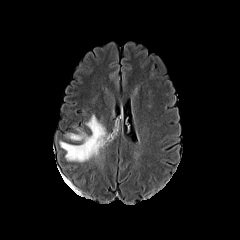
FLAIR MR.
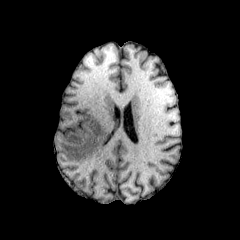
T1-weighted magnetic resonance of the same slice.
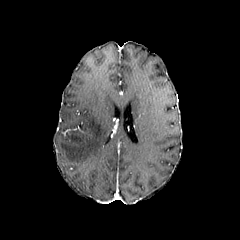
Same slice, post-contrast T1-weighted MRI.
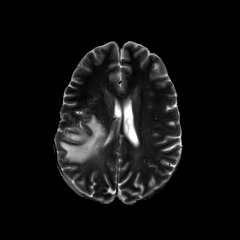
T2-weighted magnetic resonance.
Head; Axial plane
The peritumoral edema is at 59:115:108:162.